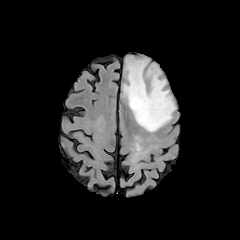
FLAIR MR.
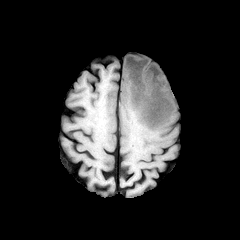
T1-weighted MRI.
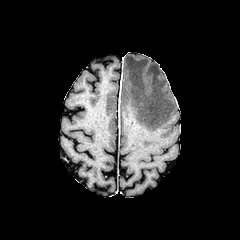
Post-contrast T1-weighted MRI of the same slice.
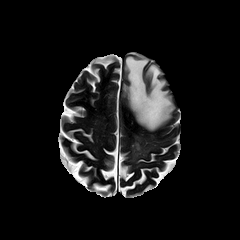
Same slice, T2-weighted magnetic resonance.
Axial view; Head
peritumoral edema: 123,56,175,131